FLAIR MRI.
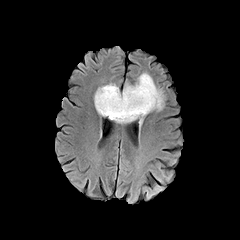
T1-weighted MR image.
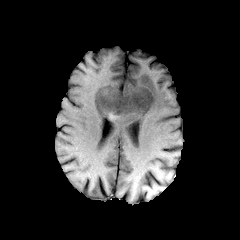
Post-contrast T1-weighted MRI.
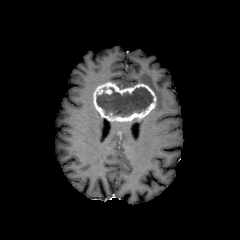
T2-weighted magnetic resonance.
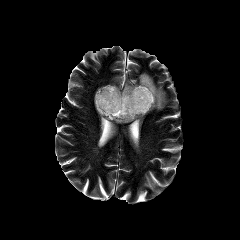
240x240.
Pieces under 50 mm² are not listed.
The largest peritumoral edema region is located at (left=135, top=72, right=165, bottom=110). The largest necrotic tumor core region is located at (left=96, top=87, right=152, bottom=116). The enhancing tumor appears at (left=93, top=82, right=156, bottom=123).